Slice 50/155; Axial plane; Image width 240 mm; Brain
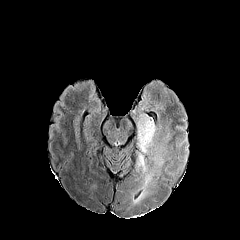
FLAIR MRI.
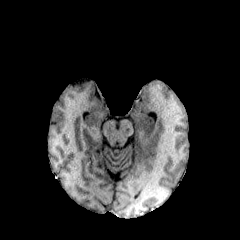
T1-weighted MR image.
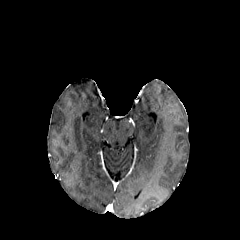
Post-contrast T1-weighted magnetic resonance.
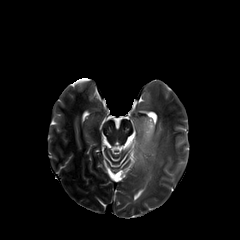
Same slice, T2-weighted magnetic resonance.
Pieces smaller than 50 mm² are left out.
peritumoral_edema:
  - (138, 153, 145, 170)
  - (138, 119, 155, 153)
  - (143, 173, 153, 187)